Axial slice
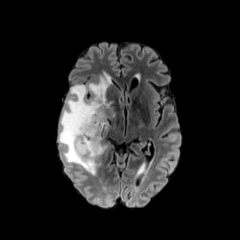
FLAIR MRI.
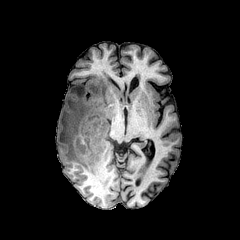
T1-weighted MR image.
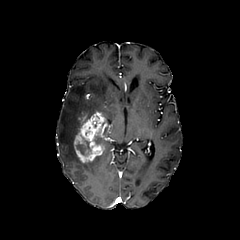
Same slice, post-contrast T1-weighted MRI.
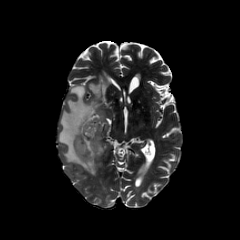
T2-weighted magnetic resonance.
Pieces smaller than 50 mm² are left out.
enhancing tumor: bounding box <bbox>74, 111, 108, 163</bbox>
peritumoral edema: bounding box <bbox>58, 73, 116, 174</bbox>
necrotic tumor core: bounding box <bbox>94, 123, 104, 144</bbox>, <bbox>76, 136, 91, 156</bbox>